240x240 | Slice 96 of 155
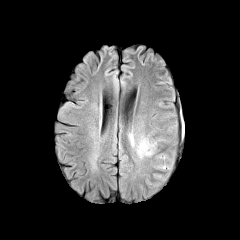
FLAIR MR image.
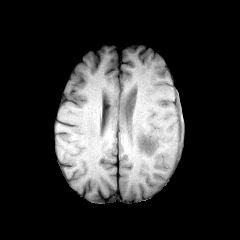
Same slice, T1-weighted MRI.
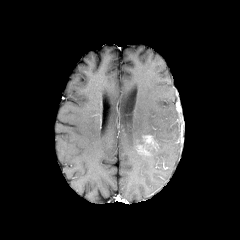
Post-contrast T1-weighted MRI.
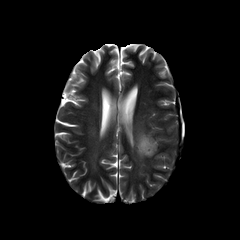
Same slice, T2-weighted MR.
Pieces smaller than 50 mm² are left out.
peritumoral edema: (left=128, top=131, right=155, bottom=159)
enhancing tumor: (left=138, top=135, right=157, bottom=154)